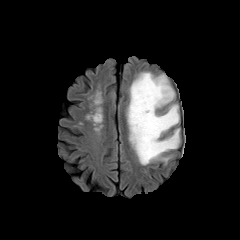
FLAIR MRI.
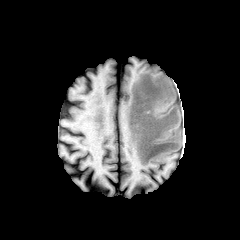
Same slice, T1-weighted MRI.
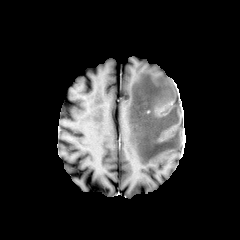
Same slice, post-contrast T1-weighted MRI.
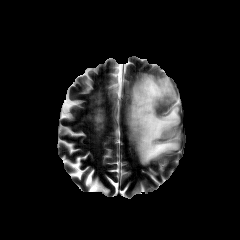
Same slice, T2-weighted MR image.
Axial plane, Head
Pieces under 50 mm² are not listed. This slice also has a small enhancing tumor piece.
peritumoral edema at (x1=127, y1=72, x2=180, y2=165)